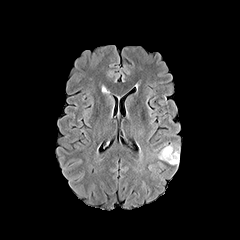
FLAIR MR.
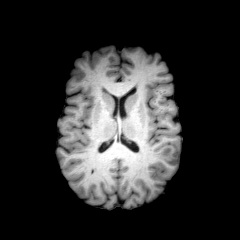
T1-weighted MRI.
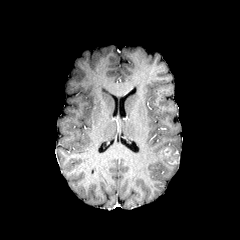
Post-contrast T1-weighted MR.
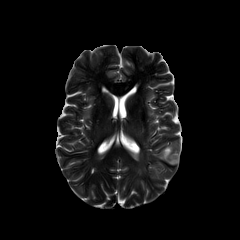
Same slice, T2-weighted MR image.
Brain
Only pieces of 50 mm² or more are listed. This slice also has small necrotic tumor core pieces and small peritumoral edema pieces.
The largest enhancing tumor region is bounded by rect(160, 145, 178, 164).